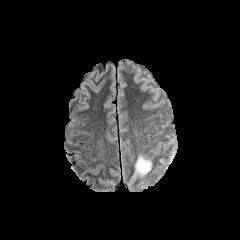
FLAIR MR.
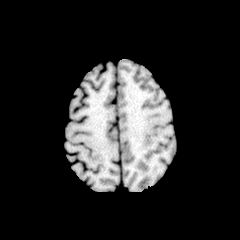
T1-weighted MRI.
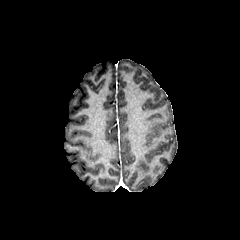
Post-contrast T1-weighted MR image.
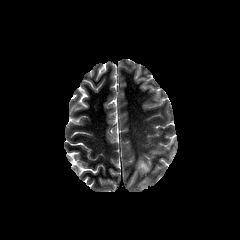
T2-weighted MR image of the same slice.
Brain
The peritumoral edema lies within [136,157,150,174].